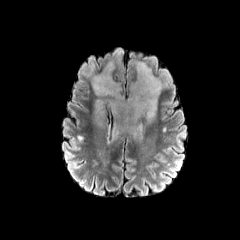
FLAIR MR.
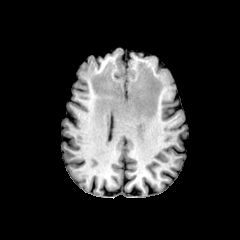
Same slice, T1-weighted MRI.
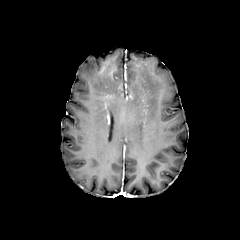
Post-contrast T1-weighted magnetic resonance of the same slice.
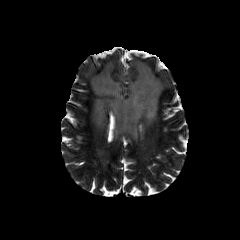
T2-weighted MRI.
Brain, 240x240 px
{"peritumoral_edema": ["x1=92, y1=62, x2=165, y2=136"]}